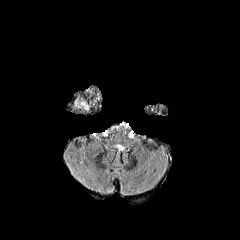
FLAIR MR.
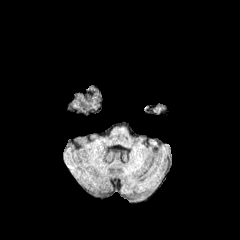
T1-weighted MR of the same slice.
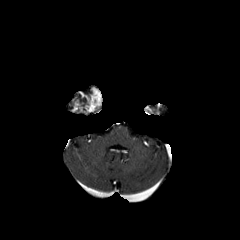
Post-contrast T1-weighted MRI.
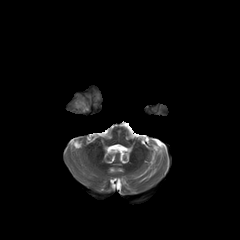
T2-weighted MRI of the same slice.
Axial slice | 240x240 px
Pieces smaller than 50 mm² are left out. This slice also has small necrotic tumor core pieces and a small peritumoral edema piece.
The enhancing tumor is bounded by {"x1": 73, "y1": 88, "x2": 101, "y2": 112}.